Axial slice, Slice index 112, 240x240 px, Brain
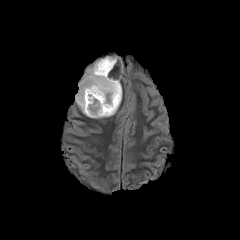
FLAIR MRI.
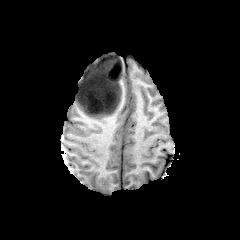
T1-weighted MRI of the same slice.
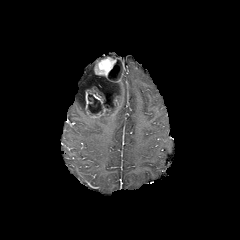
Same slice, post-contrast T1-weighted MR.
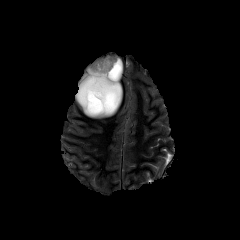
T2-weighted MR image.
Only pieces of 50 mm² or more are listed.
Findings:
- enhancing tumor: x1=91, y1=106, x2=109, y2=117; x1=85, y1=89, x2=103, y2=114; x1=94, y1=57, x2=118, y2=78
- peritumoral edema: x1=75, y1=59, x2=101, y2=117; x1=118, y1=82, x2=122, y2=106; x1=93, y1=111, x2=116, y2=118
- necrotic tumor core: x1=87, y1=59, x2=122, y2=115